FLAIR magnetic resonance.
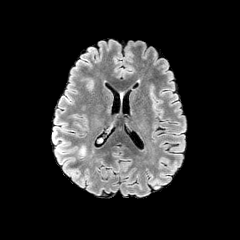
T1-weighted MR.
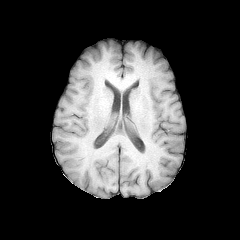
Post-contrast T1-weighted MR.
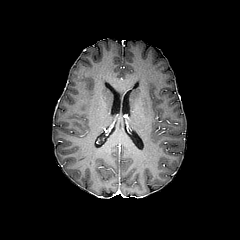
T2-weighted MR image.
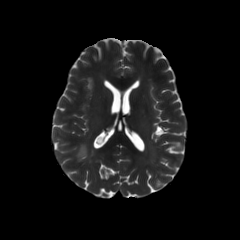
Brain. Axial view.
Findings:
- peritumoral edema: x1=77 y1=145 x2=86 y2=157